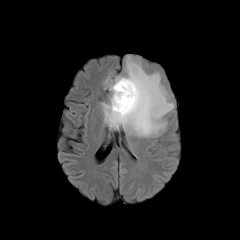
FLAIR MR image.
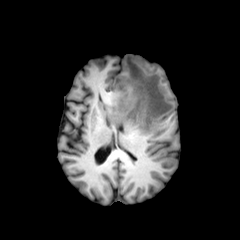
Same slice, T1-weighted MRI.
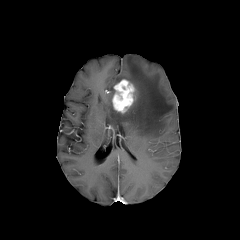
Post-contrast T1-weighted MRI of the same slice.
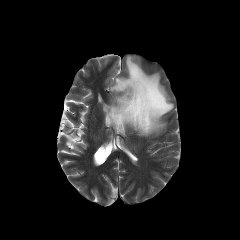
Same slice, T2-weighted MR image.
Brain
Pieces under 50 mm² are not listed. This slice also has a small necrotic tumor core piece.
{"enhancing_tumor": ["box(112, 79, 135, 113)"], "peritumoral_edema": ["box(102, 56, 174, 137)"]}